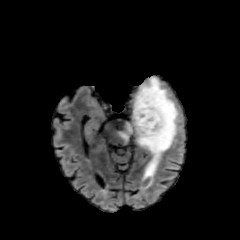
FLAIR MR.
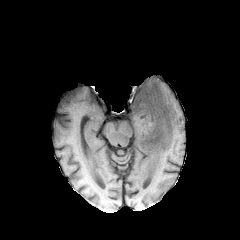
T1-weighted magnetic resonance of the same slice.
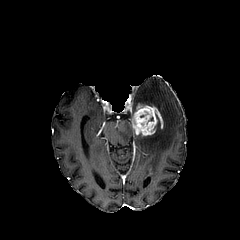
Post-contrast T1-weighted MR of the same slice.
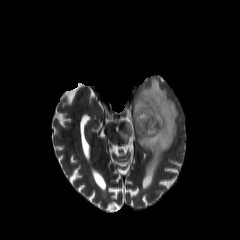
T2-weighted MRI.
Head
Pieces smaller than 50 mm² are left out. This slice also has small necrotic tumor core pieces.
<segmentation>
  <enhancing_tumor>bbox=[130, 103, 163, 136]</enhancing_tumor>
  <peritumoral_edema>bbox=[116, 77, 178, 190]</peritumoral_edema>
</segmentation>